Slice index 88
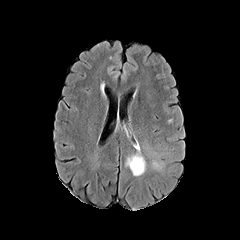
FLAIR MRI.
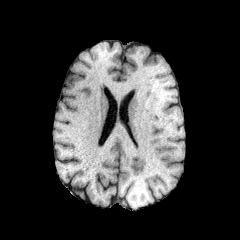
T1-weighted magnetic resonance.
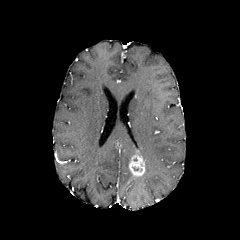
Post-contrast T1-weighted magnetic resonance of the same slice.
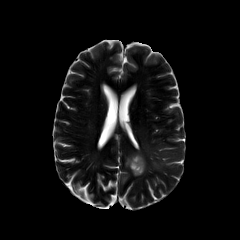
T2-weighted MR of the same slice.
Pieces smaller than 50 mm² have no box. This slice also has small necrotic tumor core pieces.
The enhancing tumor is bounded by <box>129,154,145,176</box>. The largest peritumoral edema region appears at <box>153,161,161,168</box>.